FLAIR MR image.
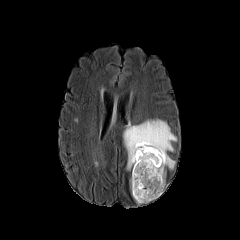
T1-weighted magnetic resonance.
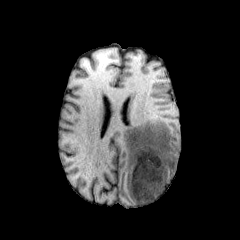
Post-contrast T1-weighted magnetic resonance.
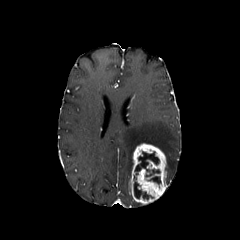
T2-weighted MR image.
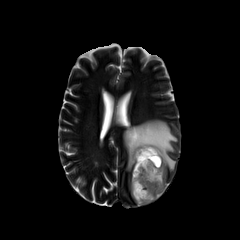
Brain
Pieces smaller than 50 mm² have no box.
The enhancing tumor is at [130, 143, 167, 204]. The 4 largest necrotic tumor core regions are bounded by [135, 151, 159, 174], [149, 176, 160, 183], [134, 181, 152, 199], [146, 169, 160, 176]. The largest peritumoral edema region appears at [123, 119, 177, 170].